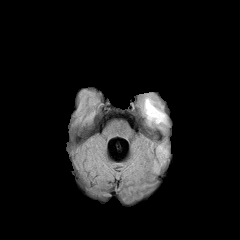
FLAIR MR image.
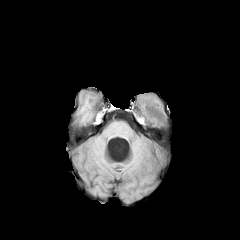
T1-weighted MRI of the same slice.
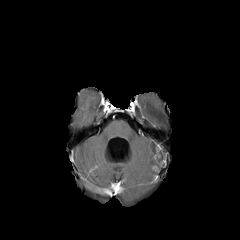
Same slice, post-contrast T1-weighted MR.
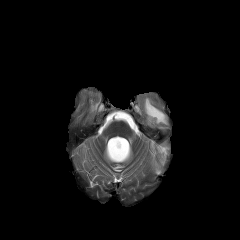
T2-weighted MR.
240x240
peritumoral edema: [143,97,167,128]